Axial slice, Image size 240x240
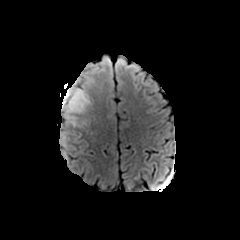
FLAIR MR image.
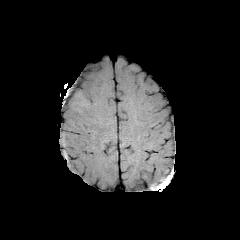
T1-weighted MR of the same slice.
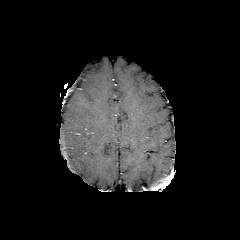
Post-contrast T1-weighted MRI.
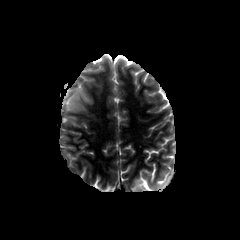
Same slice, T2-weighted MRI.
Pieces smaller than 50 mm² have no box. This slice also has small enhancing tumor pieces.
Segmented structures:
• peritumoral edema: x1=61, y1=83, x2=92, y2=127